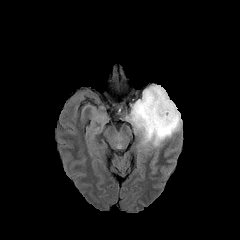
FLAIR MRI.
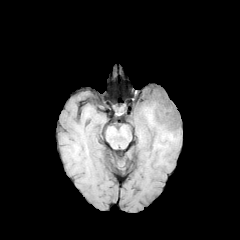
Same slice, T1-weighted MR image.
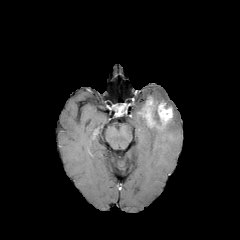
Post-contrast T1-weighted MR.
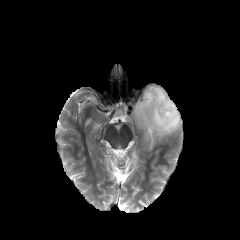
Same slice, T2-weighted magnetic resonance.
240x240 px
enhancing tumor — x1=138, y1=95, x2=173, y2=129
peritumoral edema — x1=126, y1=85, x2=181, y2=146; x1=152, y1=106, x2=160, y2=122